Image covers 240 mm x 240 mm; Axial slice; Image size 240x240; Brain
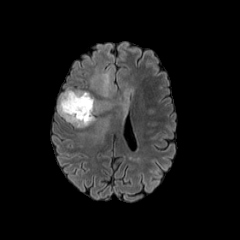
FLAIR magnetic resonance.
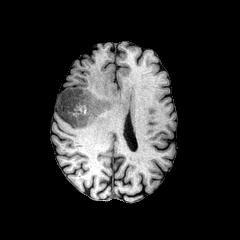
T1-weighted MR.
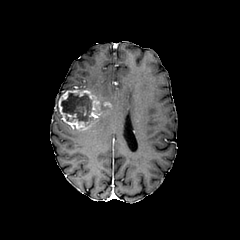
Same slice, post-contrast T1-weighted magnetic resonance.
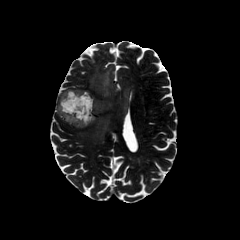
T2-weighted MRI.
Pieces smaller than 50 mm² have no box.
Annotated regions:
* enhancing tumor: x1=58 y1=88 x2=101 y2=129
* peritumoral edema: x1=90 y1=51 x2=129 y2=133
* necrotic tumor core: x1=61 y1=93 x2=92 y2=122